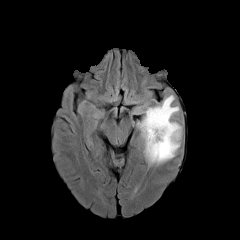
FLAIR MRI.
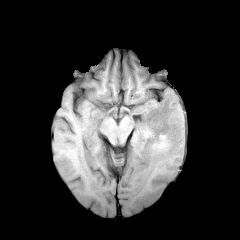
T1-weighted MR image.
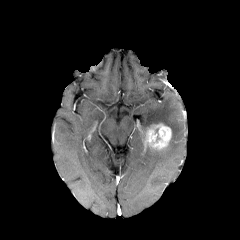
Post-contrast T1-weighted MR image.
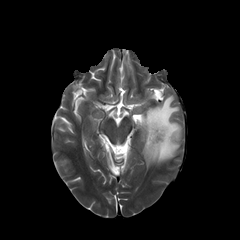
T2-weighted magnetic resonance of the same slice.
Brain
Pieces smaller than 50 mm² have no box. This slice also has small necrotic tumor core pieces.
enhancing tumor = region(145, 123, 171, 149)
peritumoral edema = region(131, 95, 182, 166)